FLAIR MRI.
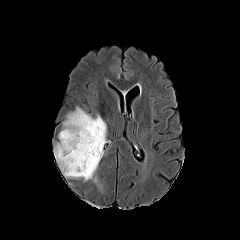
T1-weighted MR.
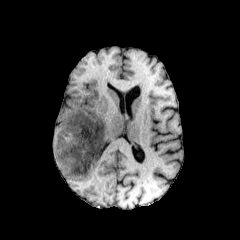
Post-contrast T1-weighted MR image.
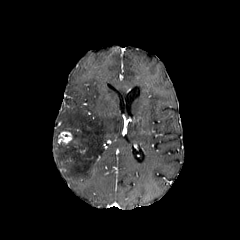
T2-weighted magnetic resonance.
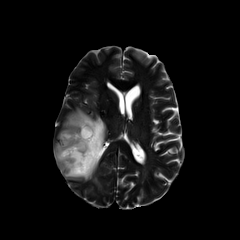
Axial view.
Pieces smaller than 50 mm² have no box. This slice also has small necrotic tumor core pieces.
The largest peritumoral edema region is at l=55, t=108, r=106, b=180. The largest enhancing tumor region is at l=59, t=131, r=72, b=144.